FLAIR MRI.
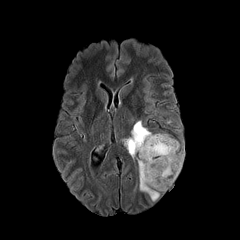
T1-weighted magnetic resonance.
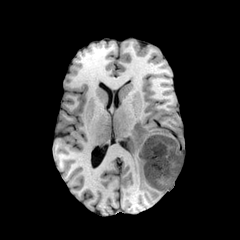
Post-contrast T1-weighted MR image.
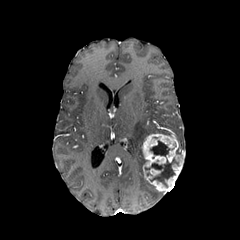
T2-weighted MRI.
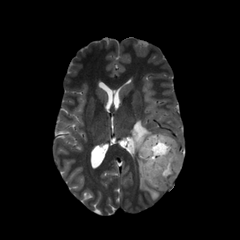
Head.
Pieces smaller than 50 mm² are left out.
necrotic tumor core at (150, 140, 169, 156), (150, 159, 177, 186)
peritumoral edema at (127, 120, 159, 200)
enhancing tumor at (141, 133, 184, 192)